FLAIR magnetic resonance.
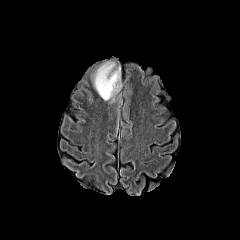
T1-weighted magnetic resonance.
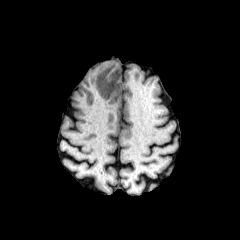
Post-contrast T1-weighted magnetic resonance.
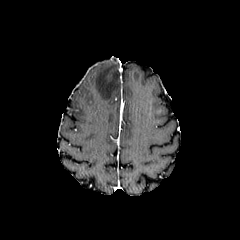
T2-weighted magnetic resonance.
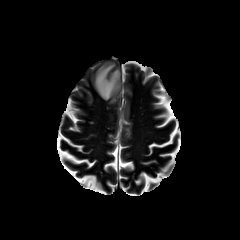
Brain
peritumoral_edema:
  - (left=94, top=62, right=120, bottom=100)